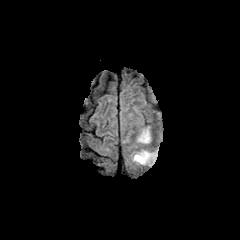
FLAIR MR image.
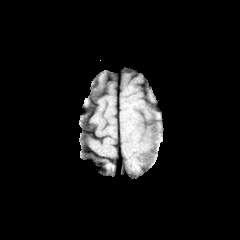
T1-weighted magnetic resonance of the same slice.
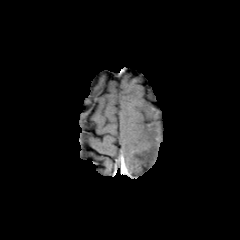
Post-contrast T1-weighted magnetic resonance.
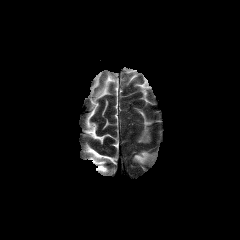
Same slice, T2-weighted MR image.
Axial plane
peritumoral edema: box(138, 129, 150, 142); box(133, 151, 157, 164)